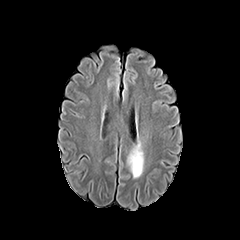
FLAIR MR.
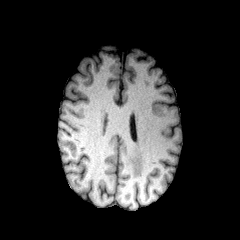
Same slice, T1-weighted MR image.
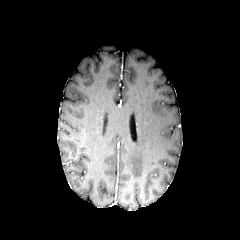
Same slice, post-contrast T1-weighted MR.
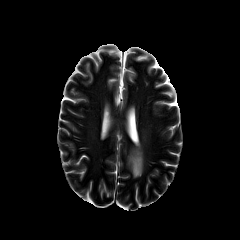
T2-weighted MR.
The peritumoral edema is located at box=[127, 141, 143, 177].